Head; Image size 240x240
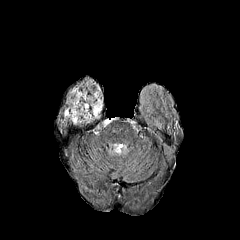
FLAIR magnetic resonance.
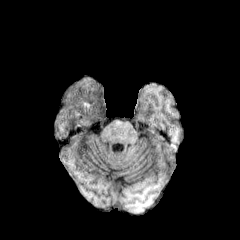
Same slice, T1-weighted MRI.
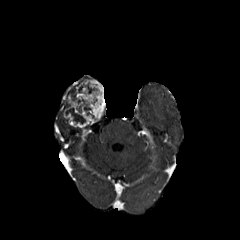
Post-contrast T1-weighted MRI.
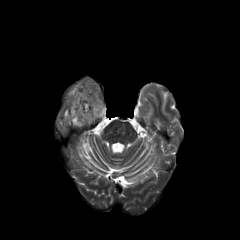
T2-weighted magnetic resonance.
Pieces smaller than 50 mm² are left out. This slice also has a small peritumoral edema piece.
necrotic_tumor_core:
  - l=66, t=108, r=85, b=123
enhancing_tumor:
  - l=63, t=79, r=105, b=127